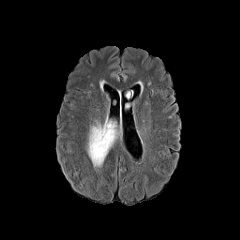
FLAIR MR image.
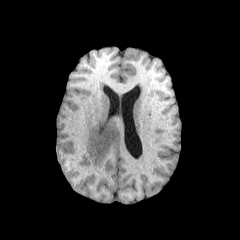
T1-weighted MR image of the same slice.
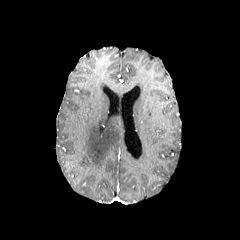
Same slice, post-contrast T1-weighted magnetic resonance.
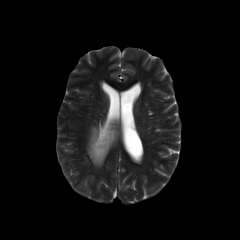
T2-weighted MR.
Head
peritumoral_edema:
  - l=87, t=120, r=119, b=167